FLAIR magnetic resonance.
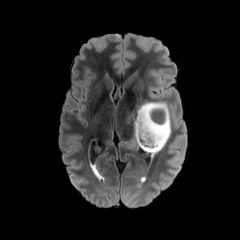
T1-weighted MR.
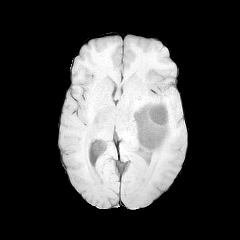
Post-contrast T1-weighted MR.
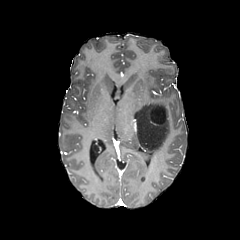
T2-weighted MR image.
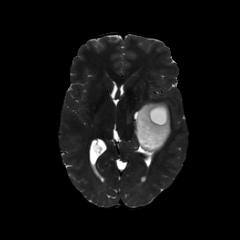
Axial slice; Brain
enhancing tumor at <bbox>148, 104, 167, 126</bbox>
necrotic tumor core at <bbox>150, 105, 166, 124</bbox>
peritumoral edema at <bbox>134, 102, 171, 154</bbox>